FLAIR magnetic resonance.
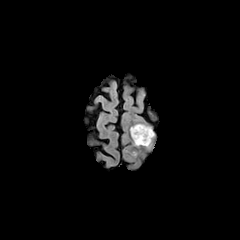
T1-weighted MRI.
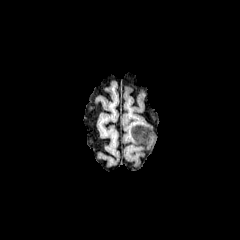
Post-contrast T1-weighted MRI.
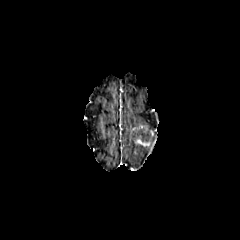
T2-weighted MRI.
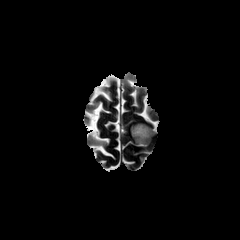
Axial view. Brain.
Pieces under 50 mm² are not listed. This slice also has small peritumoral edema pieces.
<segmentation>
  <necrotic_tumor_core>x1=137, y1=130, x2=150, y2=141</necrotic_tumor_core>
  <enhancing_tumor>x1=131, y1=124, x2=154, y2=146</enhancing_tumor>
</segmentation>